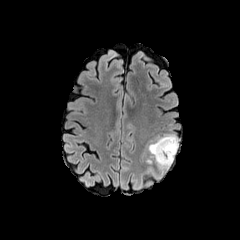
FLAIR MR image.
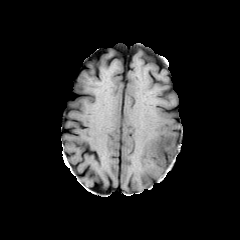
T1-weighted MR image.
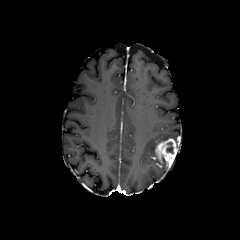
Post-contrast T1-weighted magnetic resonance of the same slice.
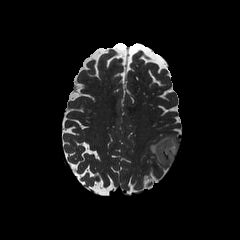
T2-weighted MR image.
Head, Axial view
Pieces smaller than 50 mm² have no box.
peritumoral edema: bounding box [148,134,178,158]
enhancing tumor: bounding box [154,138,178,168]
necrotic tumor core: bounding box [167,142,173,153]